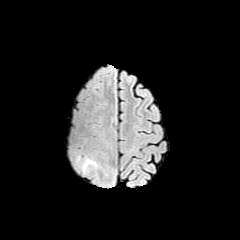
FLAIR MRI.
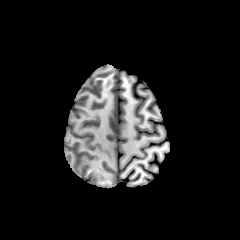
T1-weighted MRI.
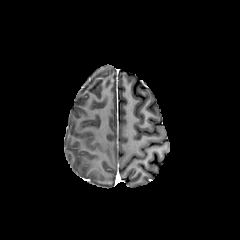
Post-contrast T1-weighted MR.
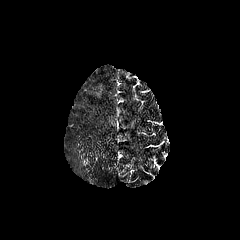
T2-weighted MRI.
Axial view. Head. 240x240.
peritumoral_edema:
  - [x1=82, y1=159, x2=95, y2=170]